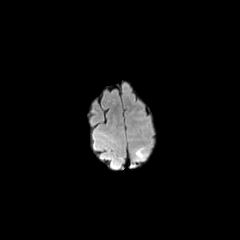
FLAIR MR image.
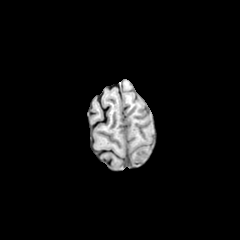
Same slice, T1-weighted MRI.
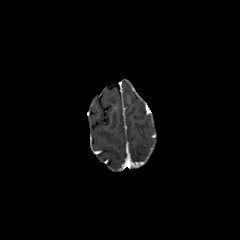
Post-contrast T1-weighted MR image.
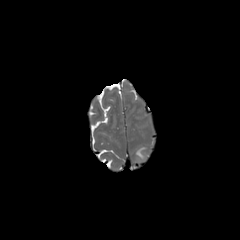
T2-weighted magnetic resonance.
Image size 240x240. Head. Axial view.
The peritumoral edema is bounded by box=[136, 147, 144, 160].